Head, Image width 240 mm, 1.00 mm slice spacing
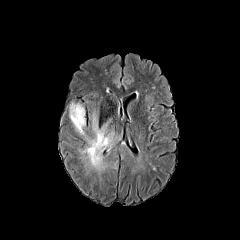
FLAIR magnetic resonance.
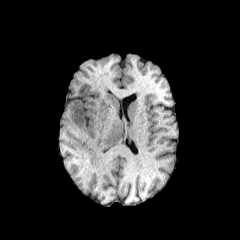
T1-weighted MR image.
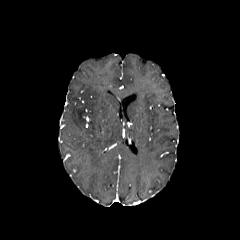
Post-contrast T1-weighted MR image.
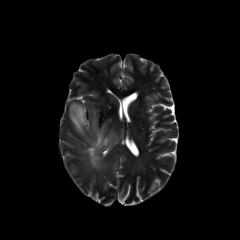
T2-weighted MRI.
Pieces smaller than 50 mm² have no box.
peritumoral edema — <box>69,102,118,172</box>